Axial plane | Slice index 79 | Brain
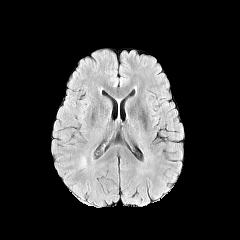
FLAIR magnetic resonance.
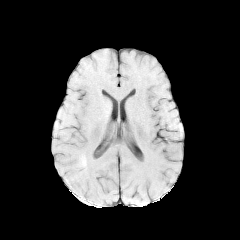
T1-weighted MR of the same slice.
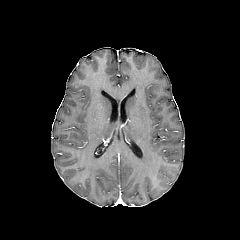
Post-contrast T1-weighted magnetic resonance.
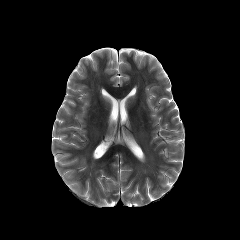
T2-weighted MR image.
{
  "peritumoral_edema": [
    "(x1=80, y1=157, x2=86, y2=168)"
  ]
}